FLAIR magnetic resonance.
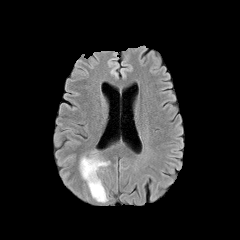
T1-weighted MR.
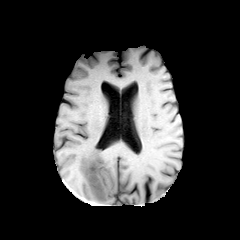
Post-contrast T1-weighted MR.
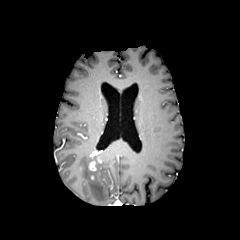
T2-weighted MRI.
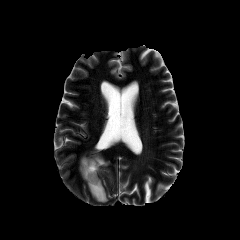
240x240 px, Axial view
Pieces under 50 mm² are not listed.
peritumoral edema: bounding box <box>80,153,109,202</box>
enhancing tumor: bounding box <box>88,160,96,171</box>